Head. Image width 240 mm, 1.00 mm slice spacing.
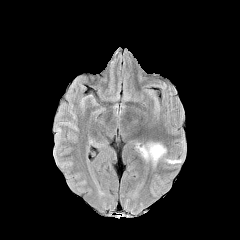
FLAIR MR image.
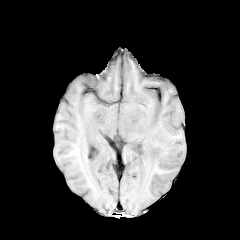
T1-weighted MR image.
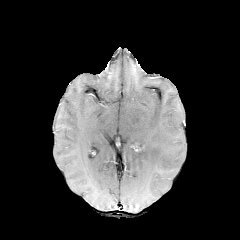
Post-contrast T1-weighted MRI.
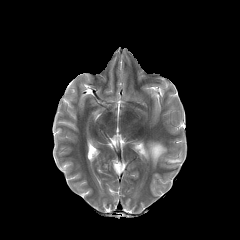
T2-weighted MR image of the same slice.
Segmented structures:
• peritumoral edema: bbox=[136, 142, 181, 166]